Slice index 22, Axial slice, 240x240, Brain
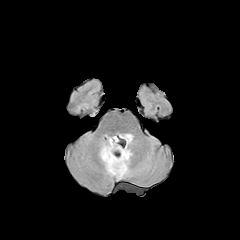
FLAIR MR image.
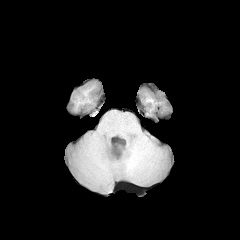
T1-weighted MR image of the same slice.
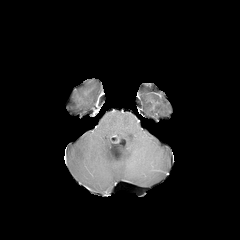
Post-contrast T1-weighted magnetic resonance of the same slice.
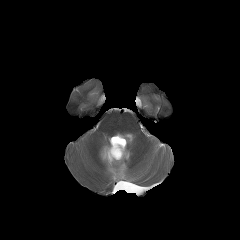
T2-weighted magnetic resonance of the same slice.
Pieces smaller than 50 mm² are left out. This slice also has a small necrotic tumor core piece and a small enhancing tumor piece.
peritumoral edema: (118, 133, 132, 144), (99, 137, 131, 179)